Head. Slice index 60.
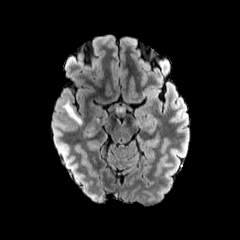
FLAIR magnetic resonance.
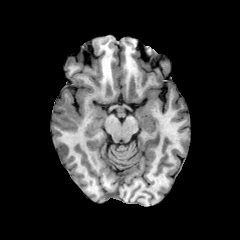
T1-weighted magnetic resonance.
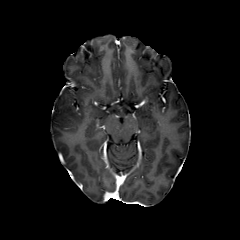
Post-contrast T1-weighted MR image.
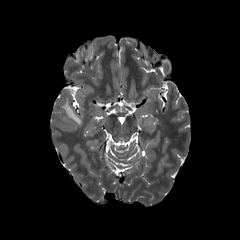
T2-weighted magnetic resonance.
The peritumoral edema is located at <bbox>63, 101, 81, 124</bbox>.